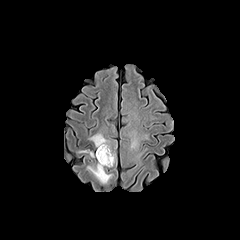
FLAIR MRI.
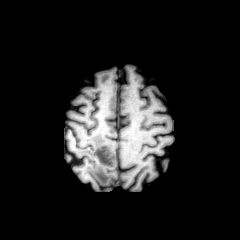
T1-weighted magnetic resonance.
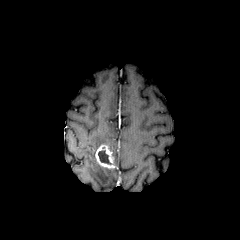
Same slice, post-contrast T1-weighted magnetic resonance.
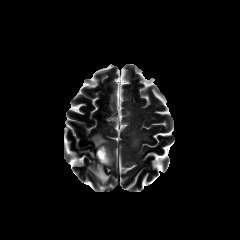
T2-weighted MR.
Head.
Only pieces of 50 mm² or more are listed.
Segmented structures:
* peritumoral edema: (87, 163, 112, 183), (90, 133, 110, 150)
* necrotic tumor core: (98, 150, 110, 164)
* enhancing tumor: (95, 144, 114, 168)